Head
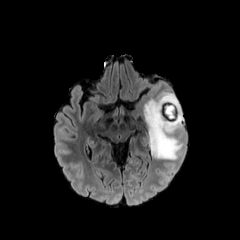
FLAIR MR.
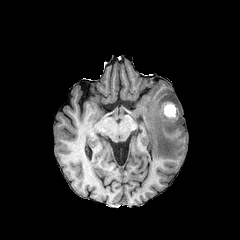
T1-weighted MRI.
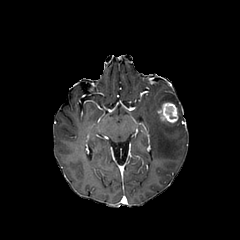
Post-contrast T1-weighted MR.
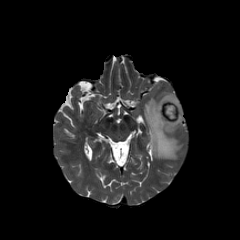
T2-weighted MRI.
{"enhancing_tumor": ["(left=157, top=102, right=178, bottom=123)"], "peritumoral_edema": ["(left=143, top=90, right=183, bottom=159)"], "necrotic_tumor_core": ["(left=165, top=106, right=176, bottom=119)"]}